240x240, Head, Slice 89 of 155
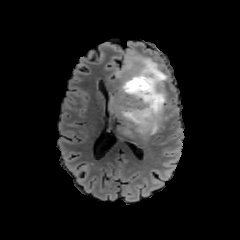
FLAIR MRI.
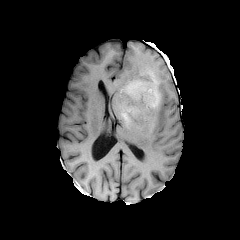
T1-weighted magnetic resonance.
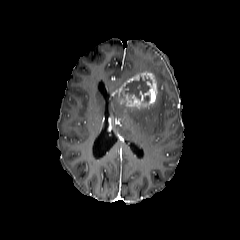
Same slice, post-contrast T1-weighted MR.
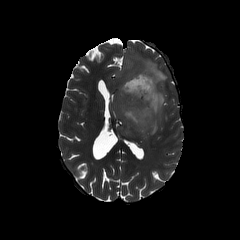
Same slice, T2-weighted MR.
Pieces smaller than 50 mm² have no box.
enhancing tumor at <bbox>120, 72, 158, 107</bbox>
necrotic tumor core at <bbox>124, 76, 151, 100</bbox>
peritumoral edema at <bbox>114, 50, 167, 135</bbox>